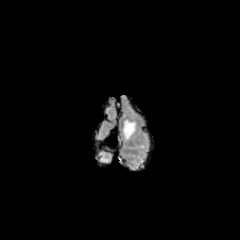
FLAIR magnetic resonance.
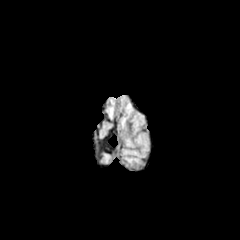
T1-weighted magnetic resonance of the same slice.
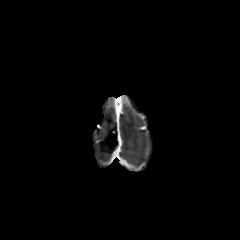
Post-contrast T1-weighted MR image.
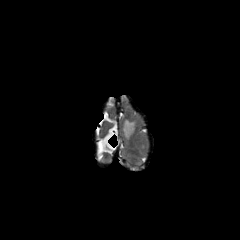
Same slice, T2-weighted MR image.
Axial slice, 240x240 px, Brain
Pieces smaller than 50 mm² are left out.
Segmented structures:
• peritumoral edema: region(122, 119, 137, 140)